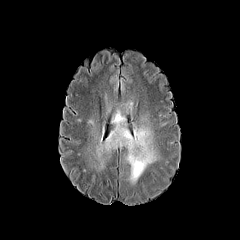
FLAIR magnetic resonance.
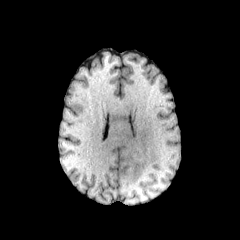
T1-weighted magnetic resonance.
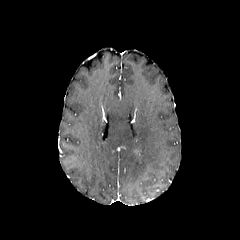
Post-contrast T1-weighted MRI.
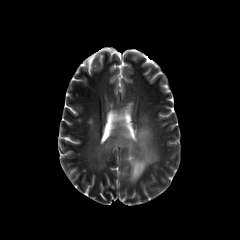
Same slice, T2-weighted MR image.
Axial plane | Brain
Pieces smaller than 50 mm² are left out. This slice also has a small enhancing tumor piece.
{"peritumoral_edema": ["(x1=85, y1=94, x2=161, y2=184)", "(x1=103, y1=90, x2=114, y2=113)"]}